FLAIR MRI.
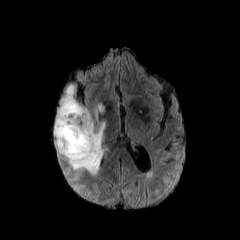
T1-weighted MR.
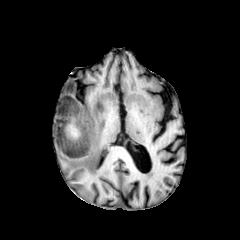
Post-contrast T1-weighted MR.
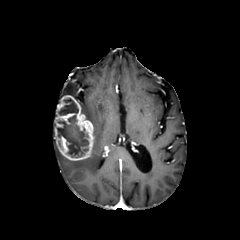
T2-weighted MR image.
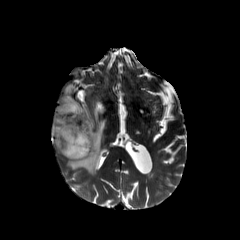
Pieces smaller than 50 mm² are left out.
enhancing_tumor:
  - 54 95 94 160
peritumoral_edema:
  - 65 84 75 96
  - 67 104 105 175
necrotic_tumor_core:
  - 58 98 78 114
  - 57 115 88 156